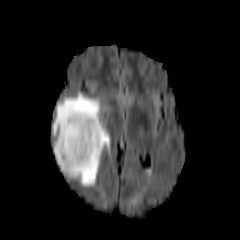
FLAIR MR.
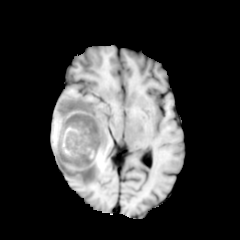
T1-weighted MRI.
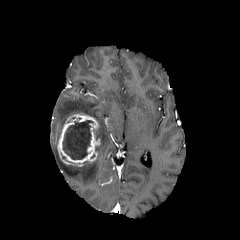
Same slice, post-contrast T1-weighted MR.
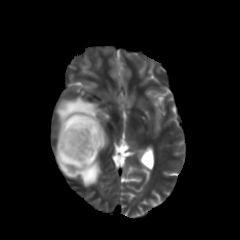
Same slice, T2-weighted MR image.
Axial view | 240x240
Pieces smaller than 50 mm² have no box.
The peritumoral edema appears at rect(52, 92, 110, 187). The enhancing tumor is bounded by rect(57, 112, 100, 166). The largest necrotic tumor core region lies within rect(63, 120, 93, 159).